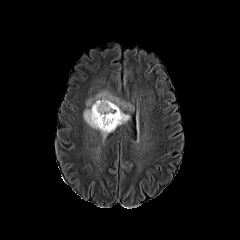
FLAIR MR image.
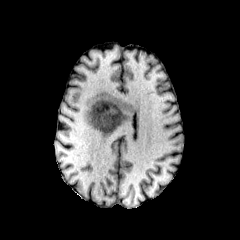
T1-weighted MR.
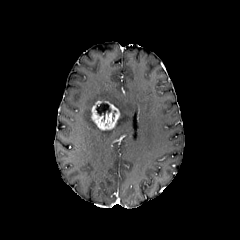
Post-contrast T1-weighted MR image.
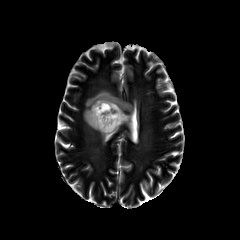
Same slice, T2-weighted magnetic resonance.
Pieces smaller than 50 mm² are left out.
- enhancing tumor: (x1=91, y1=100, x2=120, y2=130)
- peritumoral edema: (x1=83, y1=90, x2=131, y2=137)
- necrotic tumor core: (x1=96, y1=102, x2=110, y2=120)